FLAIR MR image.
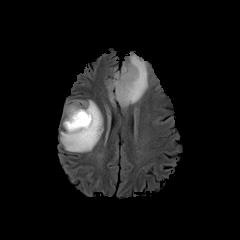
T1-weighted MR image.
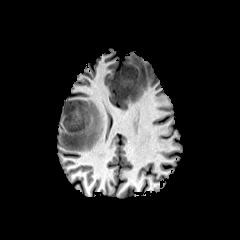
Post-contrast T1-weighted MRI.
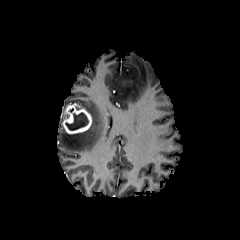
T2-weighted magnetic resonance.
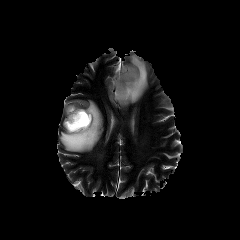
Brain
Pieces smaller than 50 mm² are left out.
peritumoral edema: 107 54 148 107, 60 100 103 152 | enhancing tumor: 63 103 91 133 | necrotic tumor core: 66 112 88 130